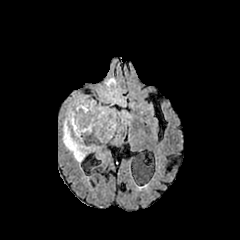
FLAIR MR image.
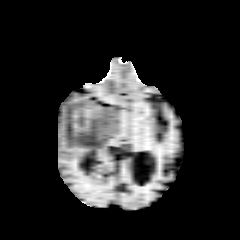
Same slice, T1-weighted MR.
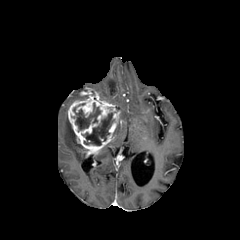
Same slice, post-contrast T1-weighted MR.
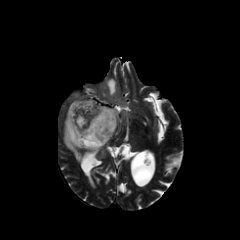
T2-weighted MRI.
Image size 240x240
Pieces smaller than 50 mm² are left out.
necrotic tumor core at [73, 103, 100, 129], [84, 113, 113, 145]
peritumoral edema at [63, 117, 86, 162], [116, 110, 130, 129], [99, 78, 126, 106]
enhancing tumor at [67, 91, 125, 153]